Head, Slice 64 of 155
FLAIR magnetic resonance.
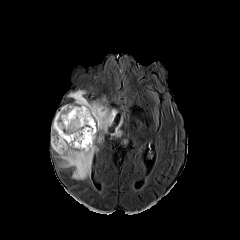
T1-weighted magnetic resonance.
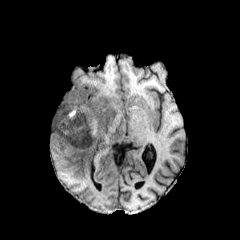
Post-contrast T1-weighted MRI.
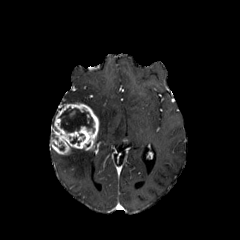
T2-weighted MR image.
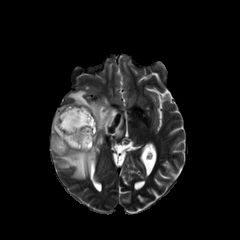
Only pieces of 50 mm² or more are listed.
enhancing_tumor:
  - (left=50, top=102, right=99, bottom=154)
peritumoral_edema:
  - (left=58, top=149, right=94, bottom=179)
  - (left=111, top=116, right=122, bottom=136)
  - (left=67, top=90, right=117, bottom=141)
necrotic_tumor_core:
  - (left=59, top=107, right=94, bottom=132)